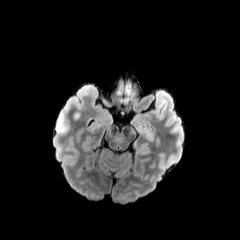
FLAIR MR image.
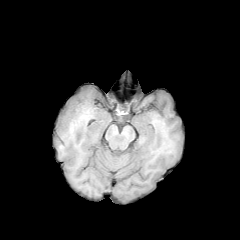
T1-weighted magnetic resonance of the same slice.
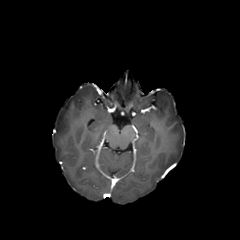
Post-contrast T1-weighted MRI of the same slice.
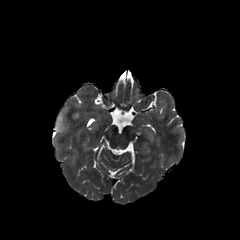
T2-weighted MR.
Brain
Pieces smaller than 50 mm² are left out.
peritumoral edema: (56,114,64,131)